FLAIR magnetic resonance.
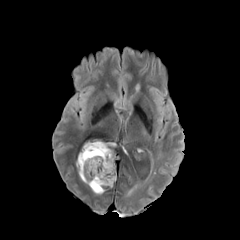
T1-weighted MRI.
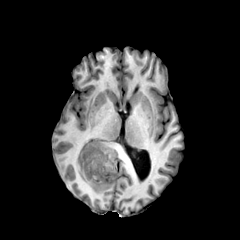
Post-contrast T1-weighted magnetic resonance.
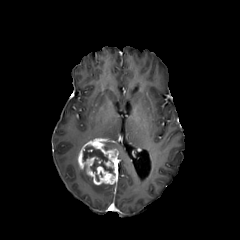
T2-weighted MR image.
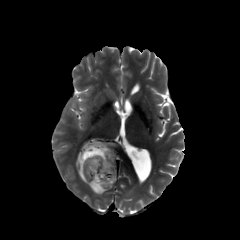
Brain. 240x240 px.
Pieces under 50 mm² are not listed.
peritumoral_edema:
  - (76,160,112,194)
  - (103,142,115,149)
enhancing_tumor:
  - (77,139,117,185)
necrotic_tumor_core:
  - (83,146,114,174)